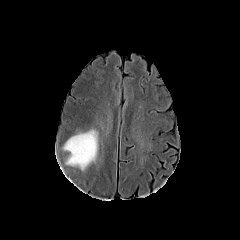
FLAIR MRI.
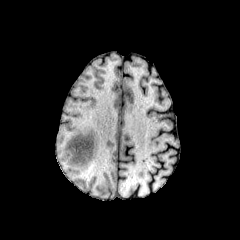
T1-weighted MR image of the same slice.
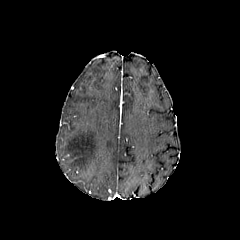
Same slice, post-contrast T1-weighted MR image.
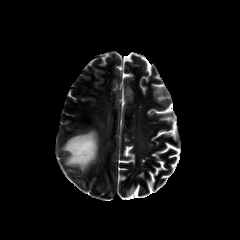
T2-weighted MR image.
peritumoral edema: region(63, 130, 97, 170)